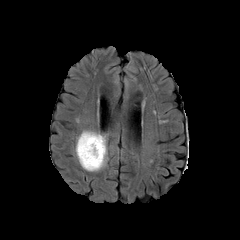
FLAIR MRI.
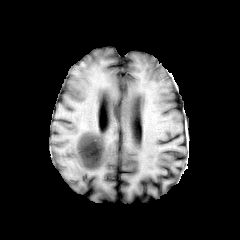
T1-weighted MR image.
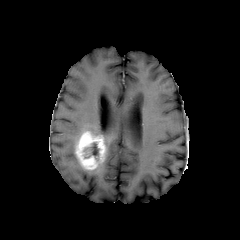
Post-contrast T1-weighted MR of the same slice.
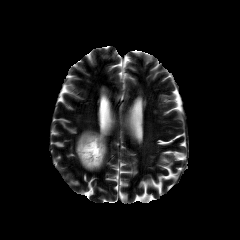
T2-weighted magnetic resonance of the same slice.
Image size 240x240. Axial plane.
enhancing tumor — (75,131,106,170)
necrotic tumor core — (91,143,98,155)
peritumoral edema — (76,130,107,171)